FLAIR MR.
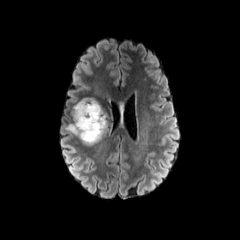
T1-weighted magnetic resonance.
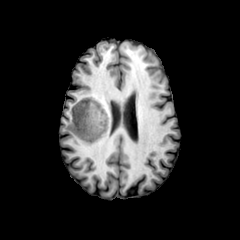
Post-contrast T1-weighted MRI.
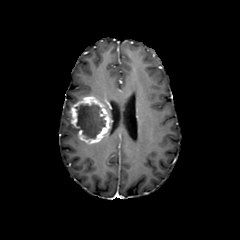
T2-weighted MR image.
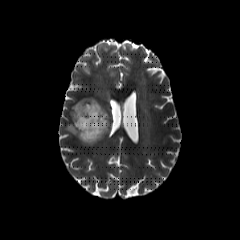
Image size 240x240
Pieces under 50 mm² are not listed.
Segmented structures:
* necrotic tumor core: <box>75,103,105,138</box>
* enhancing tumor: <box>70,96,109,144</box>
* peritumoral edema: <box>65,122,77,137</box>, <box>95,85,100,94</box>